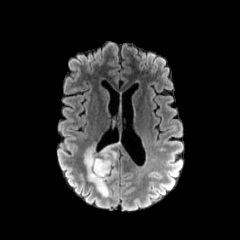
FLAIR MR image.
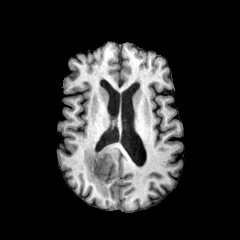
T1-weighted MR.
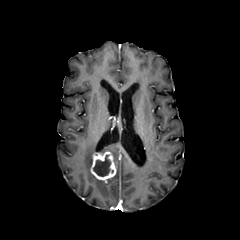
Post-contrast T1-weighted MR image.
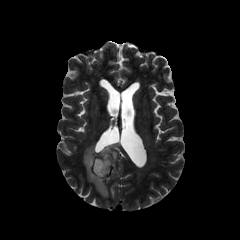
Same slice, T2-weighted MR.
Head.
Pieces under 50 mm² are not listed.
Annotated regions:
- necrotic tumor core: box(93, 155, 110, 176)
- peritumoral edema: box(84, 144, 118, 196)
- enhancing tumor: box(90, 151, 116, 181)